FLAIR MRI.
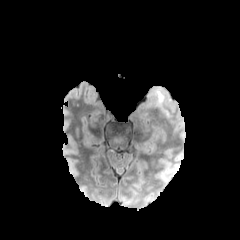
T1-weighted MRI.
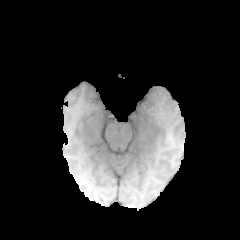
Post-contrast T1-weighted MRI.
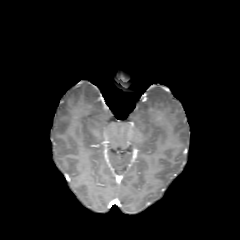
T2-weighted MRI.
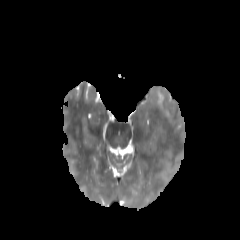
240x240, Axial slice, Head
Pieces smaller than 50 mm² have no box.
peritumoral edema: (155, 87, 171, 107)